FLAIR MR.
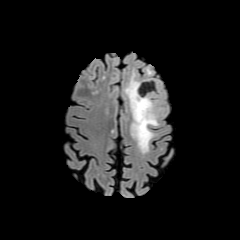
T1-weighted magnetic resonance.
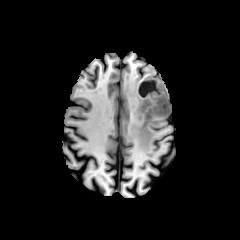
Post-contrast T1-weighted magnetic resonance.
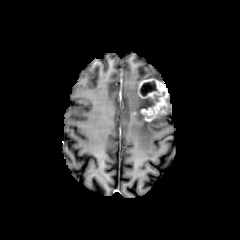
T2-weighted MR.
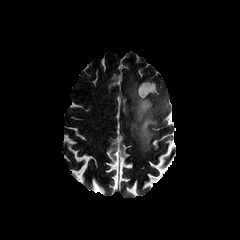
Axial slice
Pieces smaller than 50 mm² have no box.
<segmentation>
  <enhancing_tumor>bbox=[138, 78, 168, 121]</enhancing_tumor>
  <necrotic_tumor_core>bbox=[141, 82, 155, 95]</necrotic_tumor_core>
  <peritumoral_edema>bbox=[125, 73, 165, 152]</peritumoral_edema>
</segmentation>